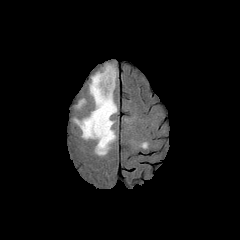
FLAIR magnetic resonance.
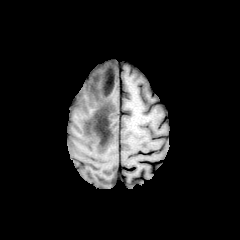
T1-weighted MR.
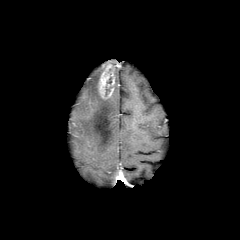
Post-contrast T1-weighted MR of the same slice.
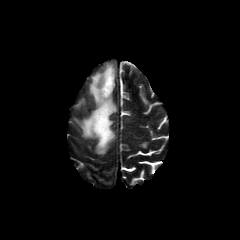
Same slice, T2-weighted magnetic resonance.
240x240. Axial view.
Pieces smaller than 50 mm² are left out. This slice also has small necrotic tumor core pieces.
peritumoral edema: 74 69 117 155 | enhancing tumor: 98 61 115 98